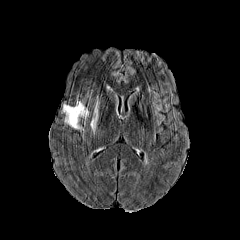
FLAIR MR image.
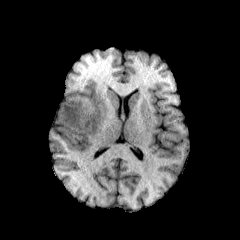
T1-weighted MRI.
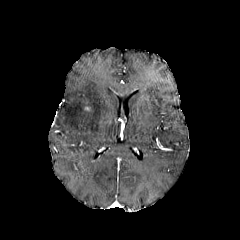
Post-contrast T1-weighted MR of the same slice.
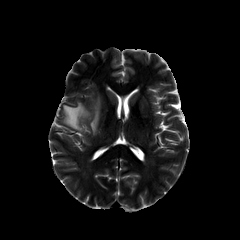
T2-weighted MRI.
240x240 px | Head
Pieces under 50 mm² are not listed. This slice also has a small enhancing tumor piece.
2 peritumoral edema regions are located at bbox=[63, 101, 88, 130]; bbox=[90, 100, 99, 133].